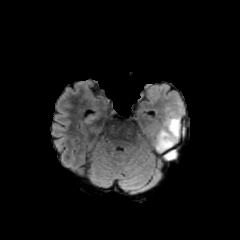
FLAIR MRI.
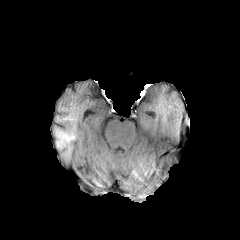
T1-weighted magnetic resonance.
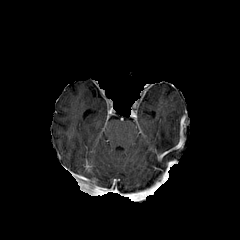
Same slice, post-contrast T1-weighted MRI.
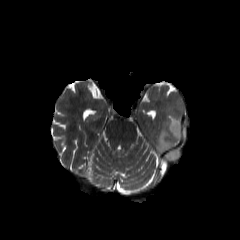
T2-weighted MR image.
Brain.
2 peritumoral edema regions appear at box=[164, 151, 176, 159]; box=[156, 115, 180, 152].